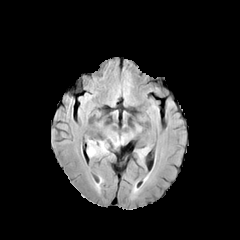
FLAIR MR image.
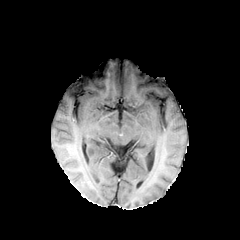
T1-weighted MR.
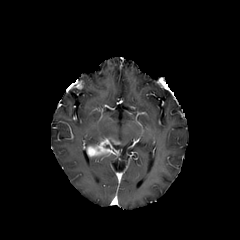
Post-contrast T1-weighted magnetic resonance.
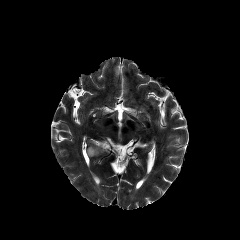
T2-weighted MR.
240x240 | Head
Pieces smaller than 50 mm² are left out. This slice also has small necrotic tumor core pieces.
The enhancing tumor lies within [87,138,121,157]. The largest peritumoral edema region is at [88,140,101,145].